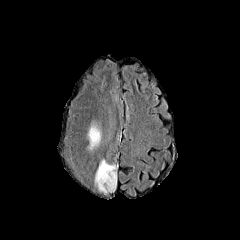
FLAIR MRI.
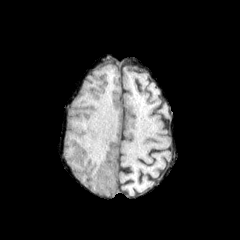
T1-weighted magnetic resonance of the same slice.
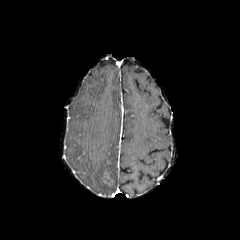
Post-contrast T1-weighted magnetic resonance.
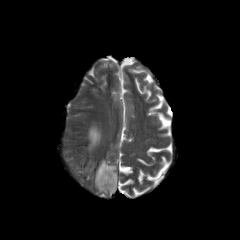
T2-weighted MR image of the same slice.
Image size 240x240
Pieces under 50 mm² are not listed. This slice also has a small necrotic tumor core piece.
enhancing_tumor:
  - <bbox>103, 172, 112, 185</bbox>
peritumoral_edema:
  - <bbox>95, 159, 117, 195</bbox>
  - <bbox>86, 119, 101, 150</bbox>